FLAIR MR.
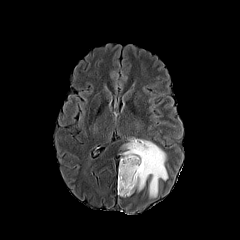
T1-weighted MR image.
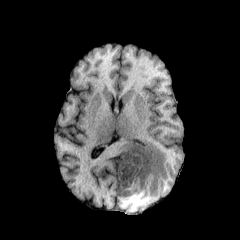
Post-contrast T1-weighted MR.
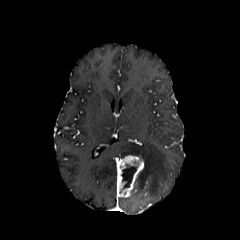
T2-weighted MR.
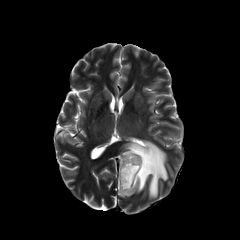
Axial plane | Brain
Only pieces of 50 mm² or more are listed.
enhancing tumor — region(117, 155, 143, 197)
necrotic tumor core — region(121, 164, 137, 189)
peritumoral edema — region(122, 139, 167, 197)